FLAIR MR.
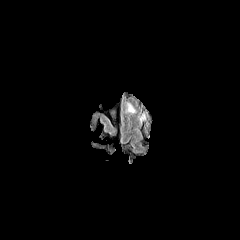
T1-weighted MRI.
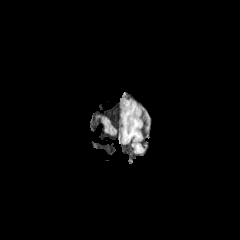
Post-contrast T1-weighted MR.
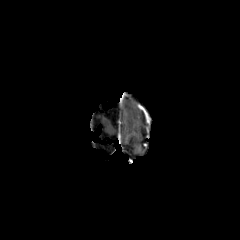
T2-weighted magnetic resonance.
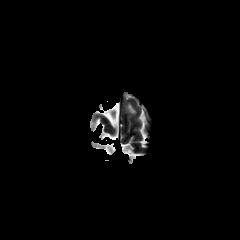
Axial slice.
The peritumoral edema appears at (x1=127, y1=103, x2=135, y2=112).